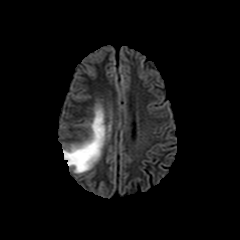
FLAIR magnetic resonance.
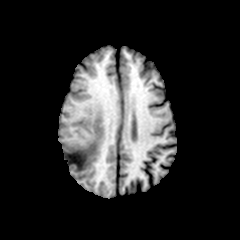
T1-weighted MRI.
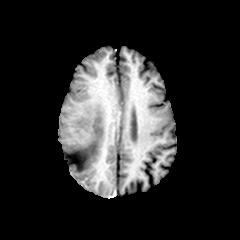
Same slice, post-contrast T1-weighted magnetic resonance.
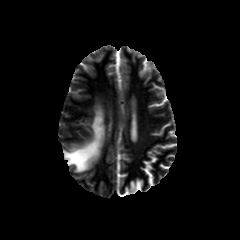
T2-weighted magnetic resonance.
Head.
<segmentation>
  <peritumoral_edema>63 105 105 173</peritumoral_edema>
</segmentation>